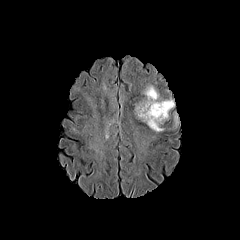
FLAIR MR image.
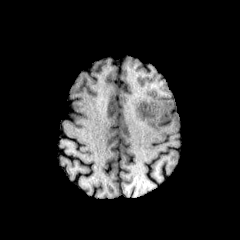
T1-weighted magnetic resonance of the same slice.
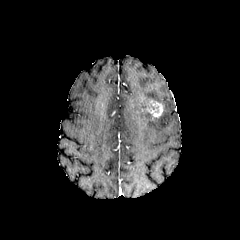
Post-contrast T1-weighted MR image.
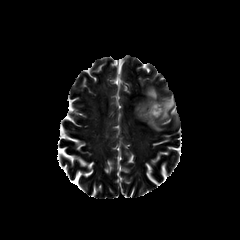
T2-weighted MRI.
Axial plane | Head
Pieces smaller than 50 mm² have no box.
Segmented structures:
- enhancing tumor: <bbox>141, 99, 164, 120</bbox>
- peritumoral edema: <bbox>135, 86, 174, 131</bbox>